Axial plane; Head; Image width 240 mm, 1.00 mm slice spacing
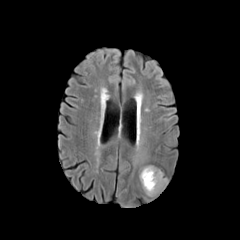
FLAIR MRI.
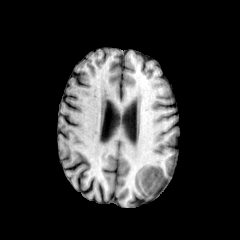
T1-weighted MRI of the same slice.
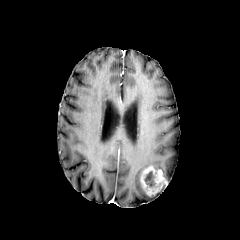
Post-contrast T1-weighted MR image of the same slice.
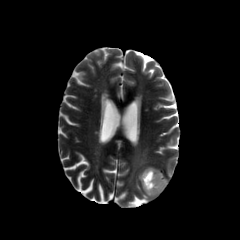
T2-weighted magnetic resonance.
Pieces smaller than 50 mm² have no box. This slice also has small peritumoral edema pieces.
{"necrotic_tumor_core": ["144,171,155,187"], "enhancing_tumor": ["140,166,168,196"]}